FLAIR MR image.
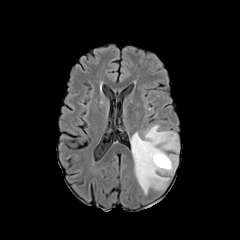
T1-weighted magnetic resonance.
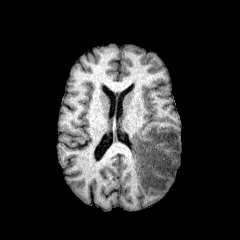
Post-contrast T1-weighted MR image.
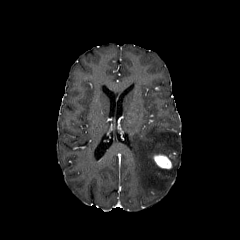
T2-weighted MR image.
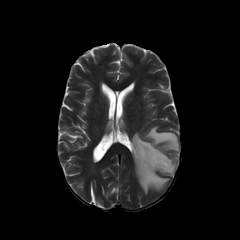
Brain, Image size 240x240
The peritumoral edema is located at (left=131, top=125, right=179, bottom=194). The enhancing tumor is bounded by (left=153, top=154, right=172, bottom=169).